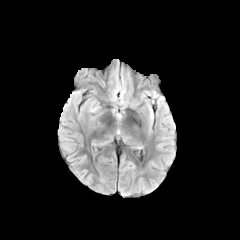
FLAIR MR image.
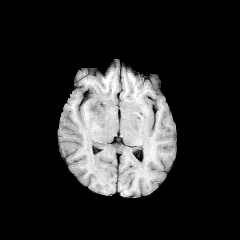
T1-weighted MR of the same slice.
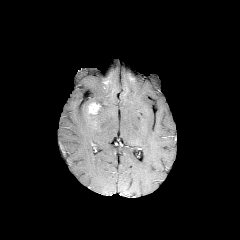
Post-contrast T1-weighted MRI of the same slice.
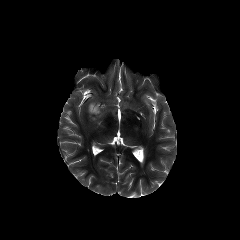
T2-weighted MRI.
Axial slice | 240x240 px
peritumoral edema = [79, 97, 106, 131]
enhancing tumor = [88, 102, 101, 114]